FLAIR MR.
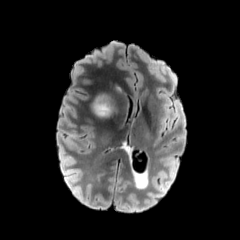
T1-weighted MR image.
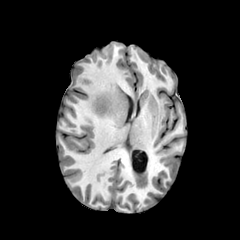
Post-contrast T1-weighted MR.
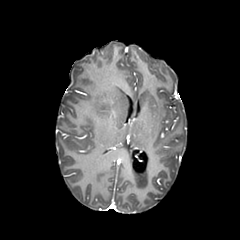
T2-weighted MR image.
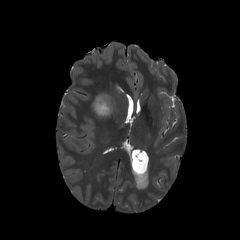
Axial view.
{"peritumoral_edema": ["[93,95,116,117]"]}